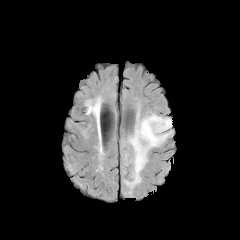
FLAIR MRI.
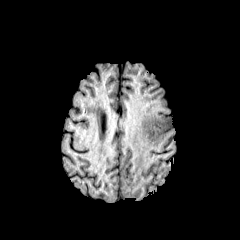
Same slice, T1-weighted MRI.
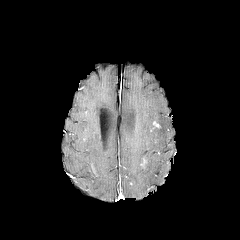
Post-contrast T1-weighted MR.
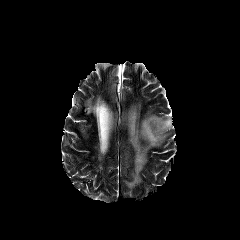
T2-weighted MRI.
Axial view
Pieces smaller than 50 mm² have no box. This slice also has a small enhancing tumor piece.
peritumoral edema: bounding box (x1=124, y1=106, x2=172, y2=189)